240x240 px | Image width 240 mm, 1.00 mm slice spacing | Axial plane | Head
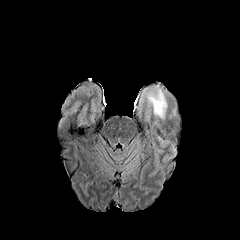
FLAIR magnetic resonance.
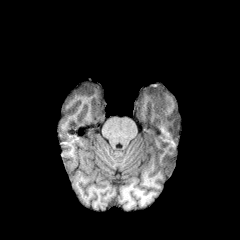
T1-weighted MRI.
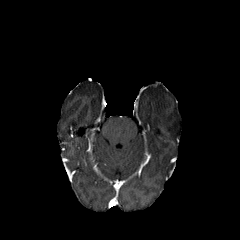
Post-contrast T1-weighted magnetic resonance.
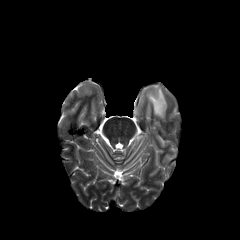
T2-weighted MR.
2 peritumoral edema regions appear at x1=141, y1=85, x2=167, y2=119; x1=171, y1=139, x2=177, y2=152.